FLAIR MRI.
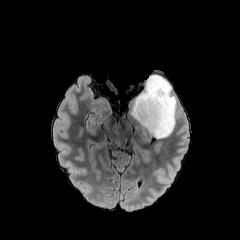
T1-weighted MR.
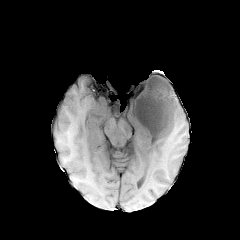
Post-contrast T1-weighted MR image.
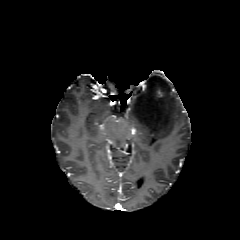
T2-weighted MRI.
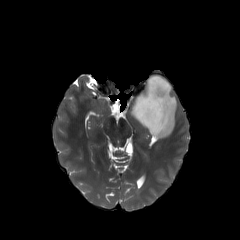
Axial view
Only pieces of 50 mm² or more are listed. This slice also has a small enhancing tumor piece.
peritumoral_edema:
  - 126, 75, 177, 138